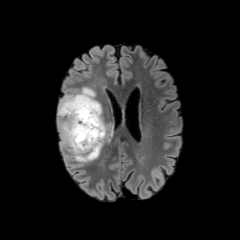
FLAIR magnetic resonance.
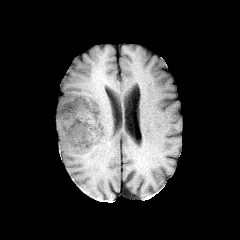
T1-weighted MRI.
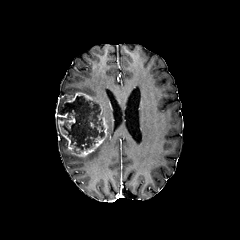
Same slice, post-contrast T1-weighted magnetic resonance.
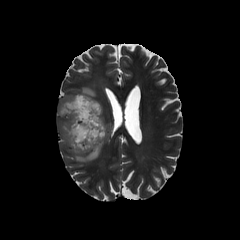
T2-weighted magnetic resonance of the same slice.
Image size 240x240. Brain.
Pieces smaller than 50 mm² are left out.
necrotic tumor core — x1=59, y1=95, x2=104, y2=152
peritumoral edema — x1=70, y1=141, x2=104, y2=162; x1=65, y1=87, x2=95, y2=97; x1=105, y1=124, x2=112, y2=140; x1=60, y1=135, x2=66, y2=149
enhancing tumor — x1=58, y1=92, x2=107, y2=156